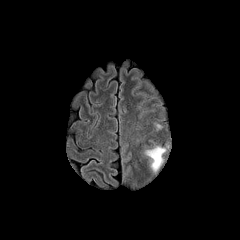
FLAIR MR.
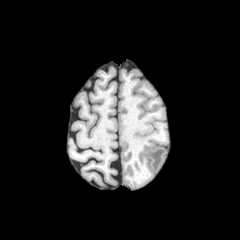
T1-weighted magnetic resonance.
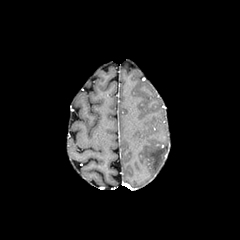
Same slice, post-contrast T1-weighted MR.
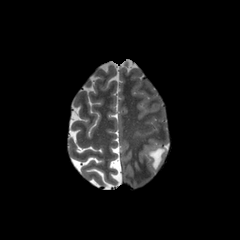
Same slice, T2-weighted MR.
Head. Axial slice.
{"peritumoral_edema": ["(left=146, top=147, right=164, bottom=170)"]}